FLAIR MRI.
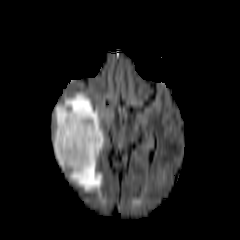
T1-weighted MR image.
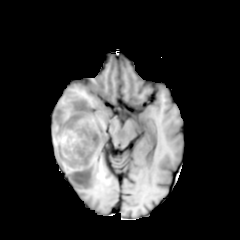
Post-contrast T1-weighted MRI.
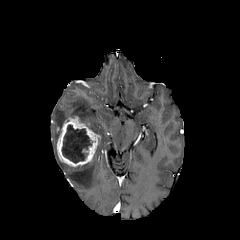
T2-weighted MR.
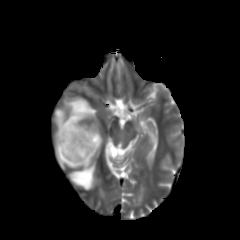
Axial slice, Brain, 240x240 px
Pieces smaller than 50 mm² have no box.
{
  "necrotic_tumor_core": [
    "61 125 91 163"
  ],
  "enhancing_tumor": [
    "57 115 100 166"
  ],
  "peritumoral_edema": [
    "53 136 64 170",
    "54 92 103 193"
  ]
}